FLAIR MR image.
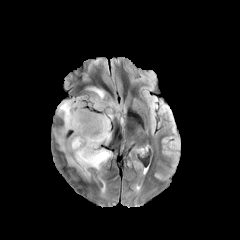
T1-weighted magnetic resonance.
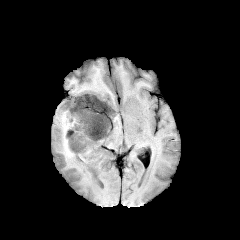
Post-contrast T1-weighted MR image.
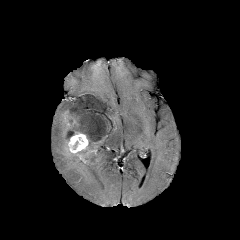
T2-weighted MRI.
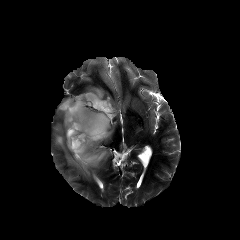
Axial slice | 240x240 px | Head
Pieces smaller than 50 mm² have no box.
The enhancing tumor lies within 64:129:88:153. The peritumoral edema is at 55:87:118:177. The largest necrotic tumor core region appears at 65:130:74:141.